FLAIR MR.
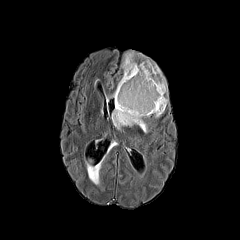
T1-weighted magnetic resonance.
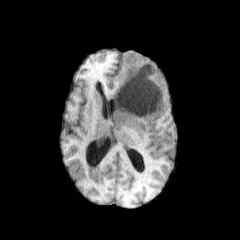
Post-contrast T1-weighted MR.
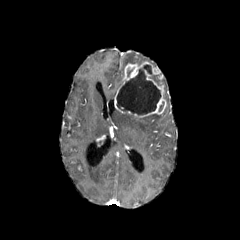
T2-weighted magnetic resonance.
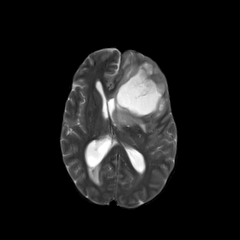
Image size 240x240; Axial view
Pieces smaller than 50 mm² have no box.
Findings:
• necrotic tumor core: box(116, 69, 161, 114); box(143, 64, 160, 85)
• peritumoral edema: box(88, 164, 100, 184); box(122, 52, 134, 68); box(111, 79, 122, 97); box(111, 109, 147, 132)
• enhancing tumor: box(114, 61, 166, 117)